Slice 82/155. Image size 240x240.
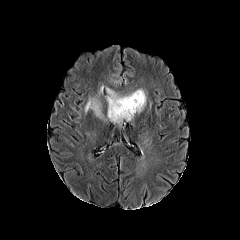
FLAIR MRI.
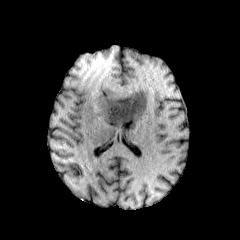
T1-weighted MRI.
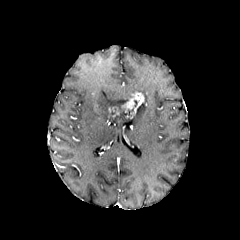
Post-contrast T1-weighted MR image.
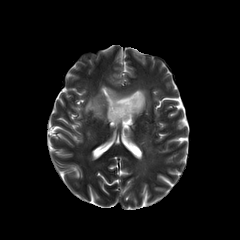
T2-weighted MRI.
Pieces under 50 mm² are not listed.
Segmented structures:
• necrotic tumor core: rect(108, 105, 133, 118)
• peritumoral edema: rect(105, 87, 130, 106); rect(108, 117, 130, 125); rect(84, 98, 103, 118)
• enhancing tumor: rect(122, 92, 144, 116)